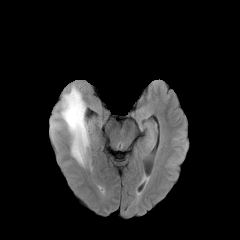
FLAIR MR.
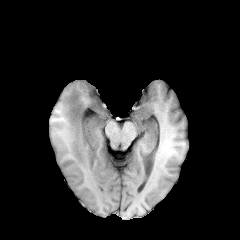
T1-weighted MR image.
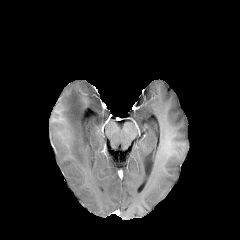
Post-contrast T1-weighted MRI.
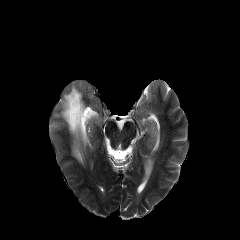
T2-weighted MRI.
240x240 px
The peritumoral edema is bounded by x1=61, y1=85, x2=86, y2=166.